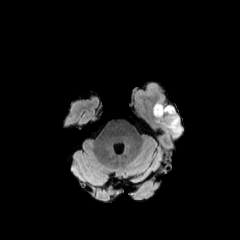
FLAIR MR image.
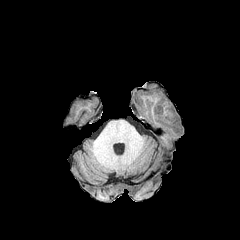
T1-weighted magnetic resonance.
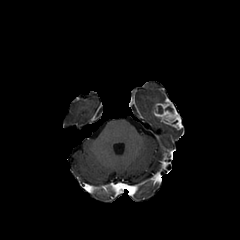
Post-contrast T1-weighted magnetic resonance.
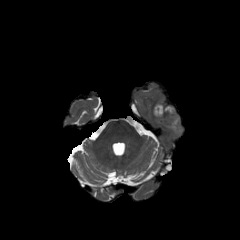
T2-weighted magnetic resonance of the same slice.
Axial plane.
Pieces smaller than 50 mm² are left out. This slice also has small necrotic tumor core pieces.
- peritumoral edema: [161,123,182,137]
- enhancing tumor: [153,102,182,130]